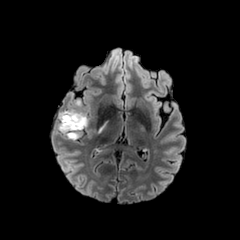
FLAIR magnetic resonance.
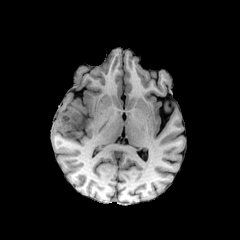
T1-weighted MRI.
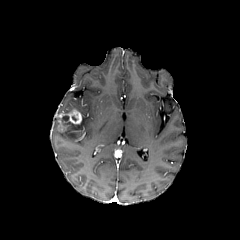
Same slice, post-contrast T1-weighted MRI.
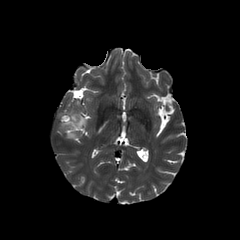
T2-weighted MRI.
240x240 px.
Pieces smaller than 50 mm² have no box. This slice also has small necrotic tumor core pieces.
<segmentation>
  <peritumoral_edema>(58,115,88,131), (67,132,77,138)</peritumoral_edema>
  <enhancing_tumor>(59,109,81,130)</enhancing_tumor>
</segmentation>